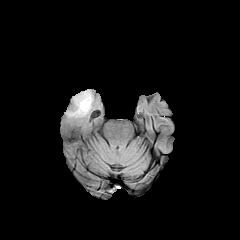
FLAIR MR.
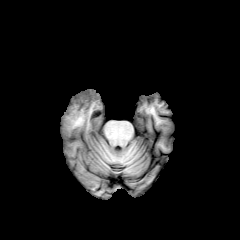
T1-weighted magnetic resonance.
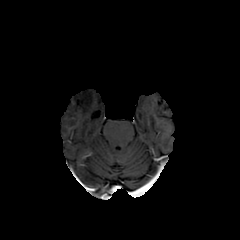
Same slice, post-contrast T1-weighted MR.
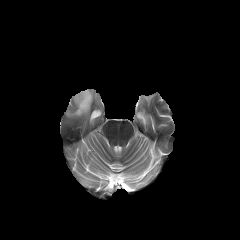
T2-weighted MRI.
Axial slice | Brain
{
  "peritumoral_edema": [
    "(x1=67, y1=90, x2=93, y2=116)"
  ]
}